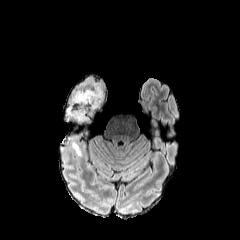
FLAIR magnetic resonance.
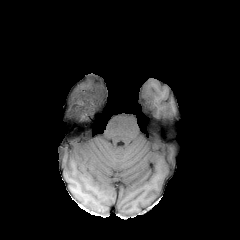
T1-weighted MR image of the same slice.
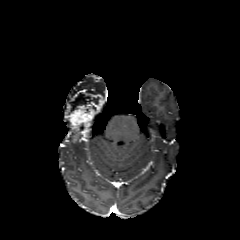
Same slice, post-contrast T1-weighted MRI.
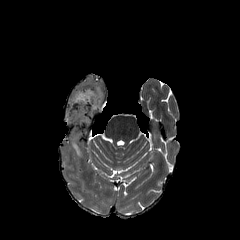
Same slice, T2-weighted MR.
Axial plane; Head
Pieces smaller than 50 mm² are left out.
necrotic tumor core: (x1=74, y1=94, x2=99, y2=106)
enhancing tumor: (x1=68, y1=90, x2=103, y2=124)
peritumoral edema: (x1=64, y1=96, x2=76, y2=124), (x1=73, y1=140, x2=82, y2=155)